FLAIR MRI.
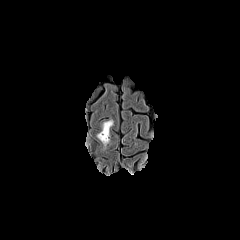
T1-weighted magnetic resonance.
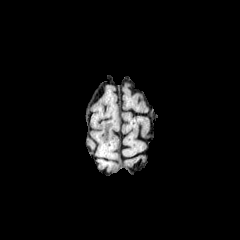
Post-contrast T1-weighted magnetic resonance.
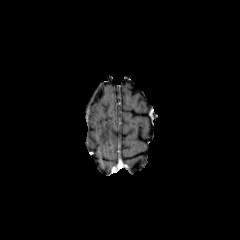
T2-weighted magnetic resonance.
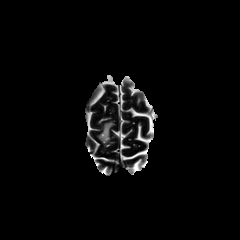
peritumoral_edema:
  - (97, 121, 113, 145)